Head, Image size 240x240
FLAIR magnetic resonance.
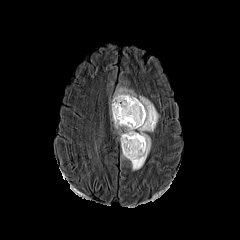
T1-weighted MR.
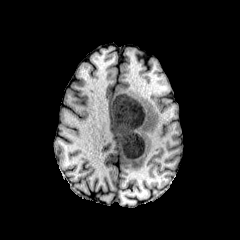
Post-contrast T1-weighted MR image.
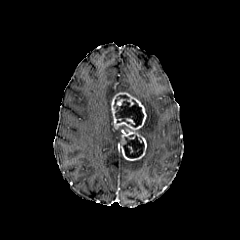
T2-weighted MRI.
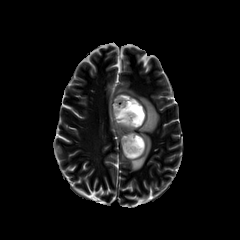
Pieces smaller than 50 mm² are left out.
- peritumoral edema: {"x1": 130, "y1": 95, "x2": 159, "y2": 170}, {"x1": 115, "y1": 87, "x2": 136, "y2": 97}
- necrotic tumor core: {"x1": 114, "y1": 95, "x2": 143, "y2": 127}, {"x1": 123, "y1": 135, "x2": 144, "y2": 158}
- enhancing tumor: {"x1": 111, "y1": 92, "x2": 146, "y2": 160}